FLAIR MRI.
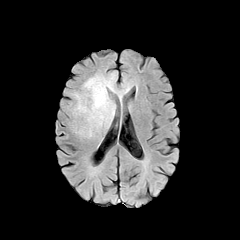
T1-weighted MRI.
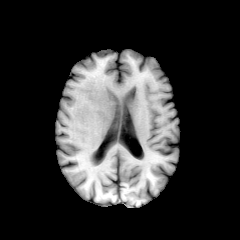
Post-contrast T1-weighted MRI.
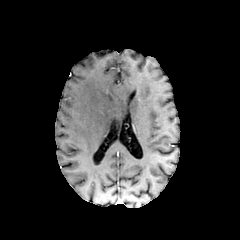
T2-weighted MRI.
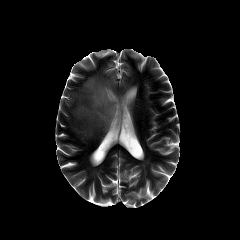
Axial slice. Image size 240x240.
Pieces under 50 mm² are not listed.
peritumoral edema = [74, 75, 115, 127]